Brain; Axial view; 240x240 px
FLAIR magnetic resonance.
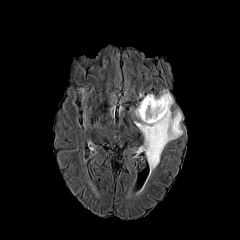
T1-weighted magnetic resonance.
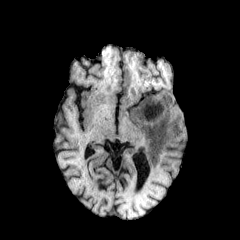
Post-contrast T1-weighted MRI.
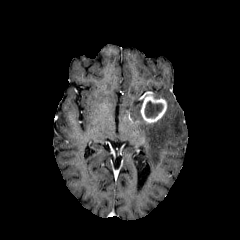
T2-weighted MRI.
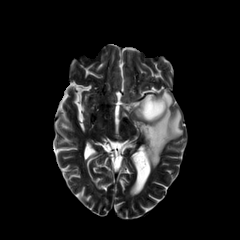
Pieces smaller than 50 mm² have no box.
<segmentation>
  <peritumoral_edema>{"x1": 134, "y1": 90, "x2": 182, "y2": 172}</peritumoral_edema>
  <necrotic_tumor_core>{"x1": 145, "y1": 101, "x2": 162, "y2": 117}</necrotic_tumor_core>
  <enhancing_tumor>{"x1": 140, "y1": 93, "x2": 167, "y2": 123}</enhancing_tumor>
</segmentation>